FLAIR MRI.
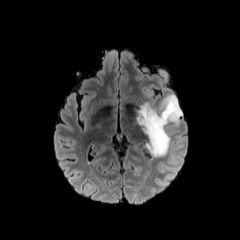
T1-weighted MR image.
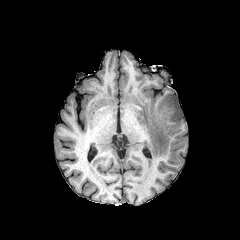
Post-contrast T1-weighted MR.
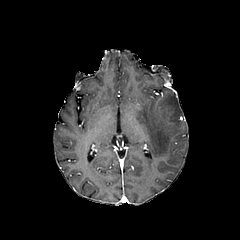
T2-weighted MR image.
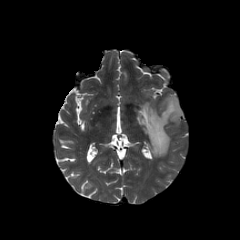
Axial view. Image size 240x240. Brain.
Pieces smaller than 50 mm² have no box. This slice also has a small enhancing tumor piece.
The peritumoral edema is bounded by 135 94 182 157.